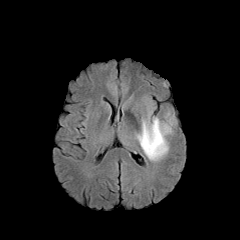
FLAIR MRI.
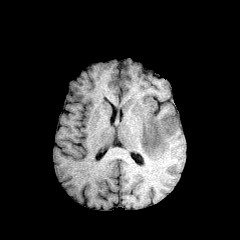
Same slice, T1-weighted MR image.
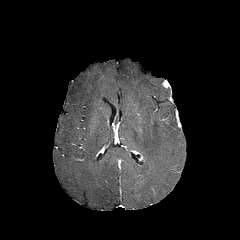
Post-contrast T1-weighted MR.
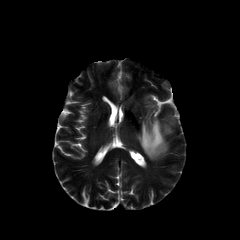
Same slice, T2-weighted MR.
Brain.
The peritumoral edema appears at x1=137 y1=116 x2=174 y2=160.